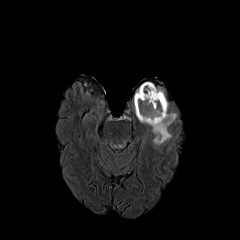
FLAIR MRI.
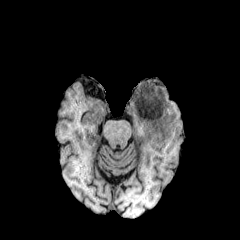
Same slice, T1-weighted magnetic resonance.
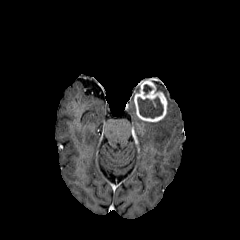
Post-contrast T1-weighted MR image.
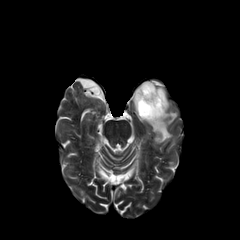
T2-weighted MRI.
240x240 px
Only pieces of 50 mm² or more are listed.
The largest peritumoral edema region is bounded by [139, 109, 177, 144]. 2 necrotic tumor core regions are located at [137, 97, 163, 118], [143, 84, 151, 93]. The largest enhancing tumor region lies within [134, 80, 167, 122].